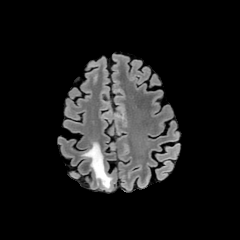
FLAIR MRI.
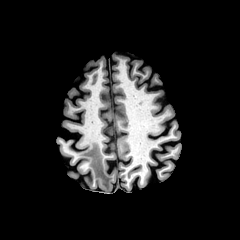
T1-weighted MRI.
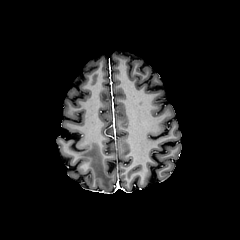
Post-contrast T1-weighted MRI.
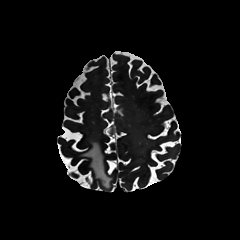
T2-weighted MRI.
Head.
peritumoral edema: (left=82, top=142, right=111, bottom=188)